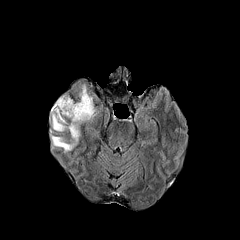
FLAIR magnetic resonance.
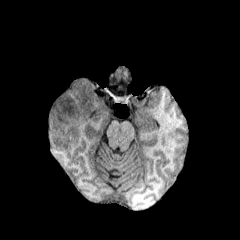
T1-weighted magnetic resonance.
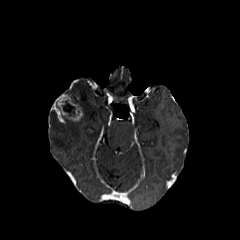
Post-contrast T1-weighted MR.
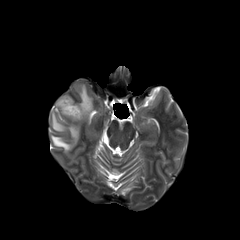
T2-weighted magnetic resonance of the same slice.
Axial plane | Head
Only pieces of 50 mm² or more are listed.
<segmentation>
  <enhancing_tumor>x1=51 y1=94 x2=83 y2=123</enhancing_tumor>
  <necrotic_tumor_core>x1=63 y1=101 x2=75 y2=116</necrotic_tumor_core>
  <peritumoral_edema>x1=51 y1=84 x2=95 y2=152</peritumoral_edema>
</segmentation>